FLAIR MRI.
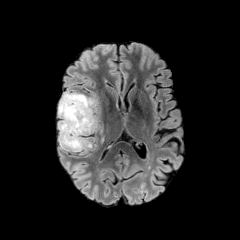
T1-weighted MRI.
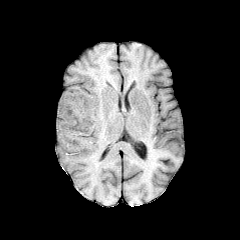
Post-contrast T1-weighted magnetic resonance.
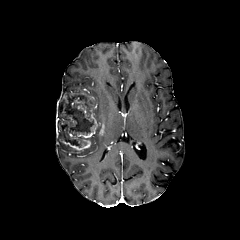
T2-weighted magnetic resonance.
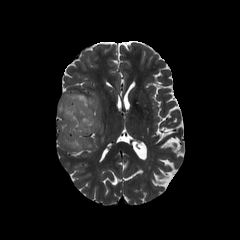
Axial slice. Head.
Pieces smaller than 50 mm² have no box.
necrotic tumor core: x1=61, y1=97, x2=93, y2=147 | peritumoral edema: x1=59, y1=141, x2=79, y2=152 | enhancing tumor: x1=57, y1=91, x2=104, y2=151